Slice 38/155 | Head | Image size 240x240
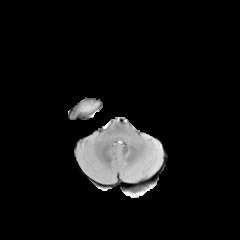
FLAIR MRI.
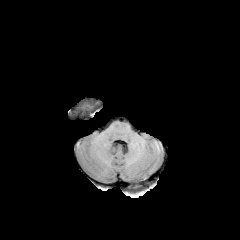
T1-weighted MRI.
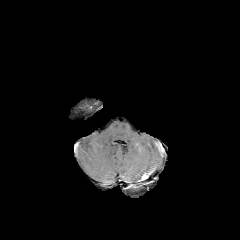
Same slice, post-contrast T1-weighted MR.
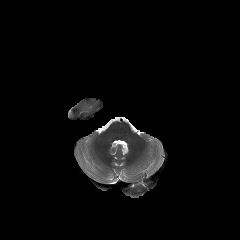
T2-weighted MR.
peritumoral edema — (left=78, top=100, right=97, bottom=112)